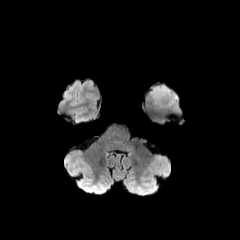
FLAIR MR.
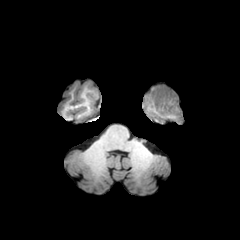
T1-weighted MR image.
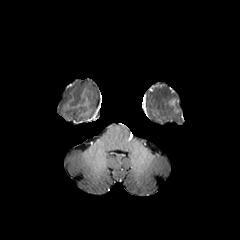
Post-contrast T1-weighted MRI.
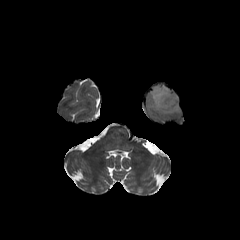
T2-weighted magnetic resonance.
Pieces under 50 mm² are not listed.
enhancing tumor at l=169, t=99, r=178, b=111
peritumoral edema at l=150, t=85, r=177, b=110